240x240; Image width 240 mm, 1.00 mm slice spacing; Axial view; Head; Slice 84 of 155
FLAIR MRI.
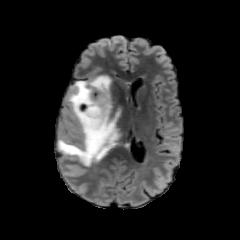
T1-weighted MR image.
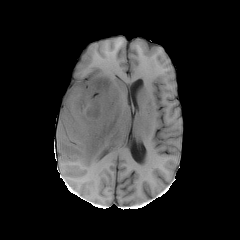
Post-contrast T1-weighted MR.
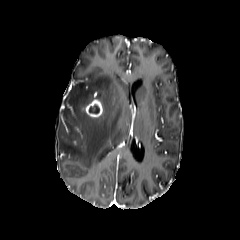
T2-weighted MRI.
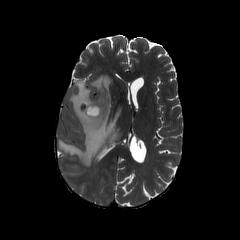
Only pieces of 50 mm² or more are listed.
enhancing tumor — box=[85, 99, 102, 118]
peritumoral edema — box=[58, 75, 122, 166]
necrotic tumor core — box=[89, 105, 99, 113]